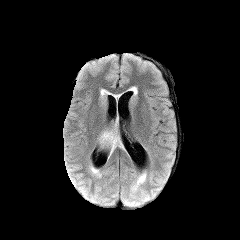
FLAIR MR image.
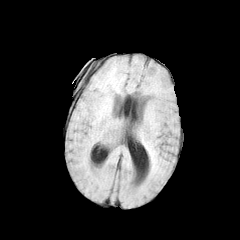
Same slice, T1-weighted MRI.
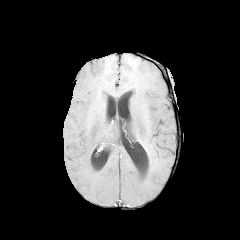
Post-contrast T1-weighted MR image.
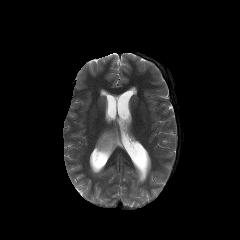
Same slice, T2-weighted MR image.
Axial plane
peritumoral_edema:
  - l=98, t=122, r=123, b=157